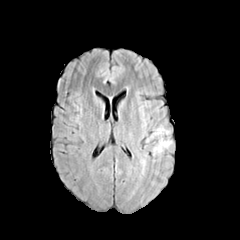
FLAIR MR.
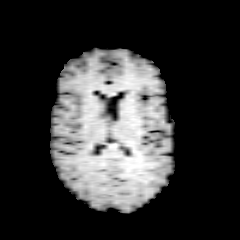
Same slice, T1-weighted MRI.
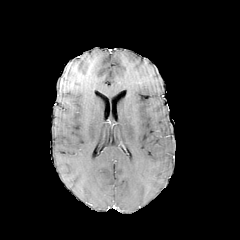
Post-contrast T1-weighted magnetic resonance of the same slice.
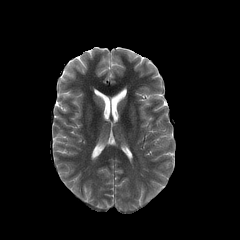
T2-weighted MRI.
Head.
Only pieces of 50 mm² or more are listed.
peritumoral edema at bbox(153, 140, 170, 152)